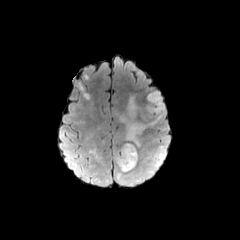
FLAIR magnetic resonance.
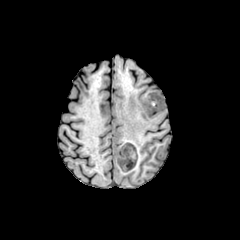
T1-weighted MR image.
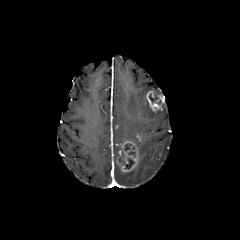
Post-contrast T1-weighted MRI.
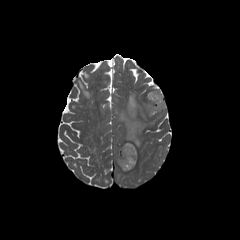
T2-weighted MR image of the same slice.
Image size 240x240; Head; Axial plane
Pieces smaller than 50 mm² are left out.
enhancing tumor: region(117, 141, 138, 172); region(145, 91, 163, 112) | peritumoral edema: region(126, 122, 145, 146); region(142, 91, 164, 124); region(116, 167, 142, 184); region(128, 96, 137, 117); region(155, 146, 165, 165) | necrotic tumor core: region(125, 158, 134, 168)